240x240; Slice 85 of 155
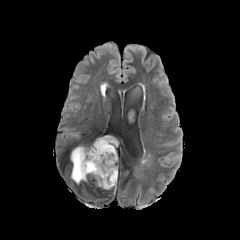
FLAIR MRI.
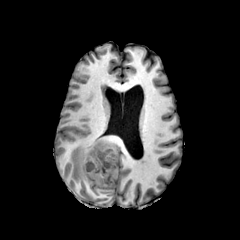
Same slice, T1-weighted MR.
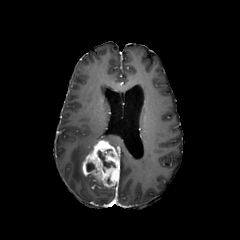
Post-contrast T1-weighted MR image.
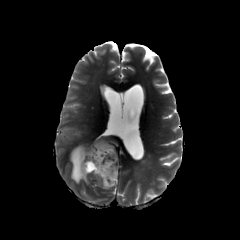
Same slice, T2-weighted MRI.
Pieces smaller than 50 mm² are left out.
enhancing tumor: bounding box left=82, top=140, right=119, bottom=187
necrotic tumor core: bounding box left=98, top=150, right=115, bottom=167; left=86, top=163, right=95, bottom=171
peritumoral edema: bounding box left=70, top=136, right=117, bottom=183